240x240, Brain, Axial slice
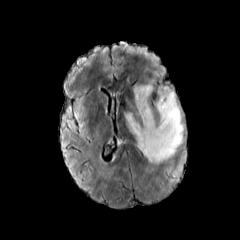
FLAIR MR.
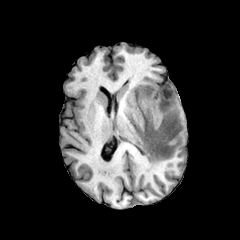
Same slice, T1-weighted MR.
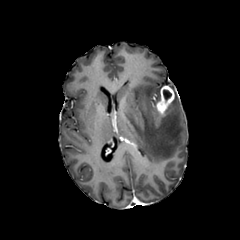
Same slice, post-contrast T1-weighted MRI.
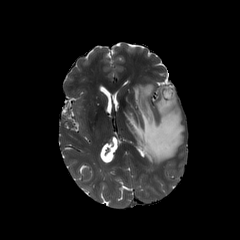
T2-weighted MR.
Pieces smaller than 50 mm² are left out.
necrotic_tumor_core:
  - l=163, t=90, r=171, b=100
enhancing_tumor:
  - l=156, t=86, r=174, b=115
peritumoral_edema:
  - l=125, t=84, r=184, b=163